Slice 36/155, Head
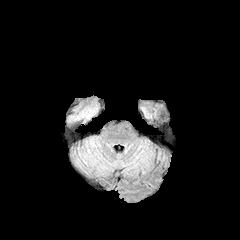
FLAIR magnetic resonance.
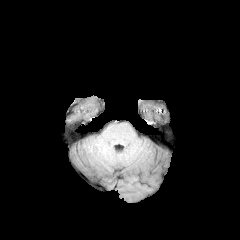
T1-weighted MRI of the same slice.
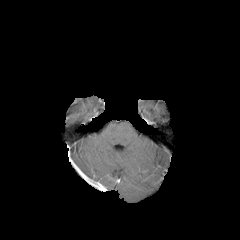
Post-contrast T1-weighted MRI.
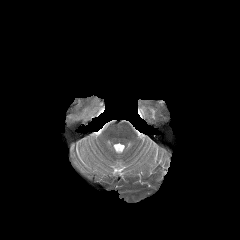
T2-weighted MR image.
peritumoral edema: bounding box <bbox>66, 96, 99, 124</bbox>